Slice 90/155. Image width 240 mm.
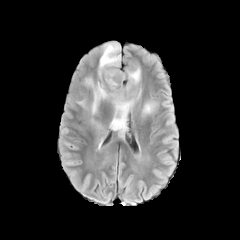
FLAIR magnetic resonance.
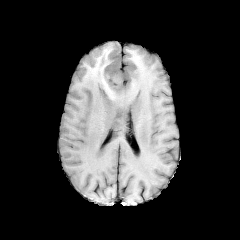
T1-weighted MR image.
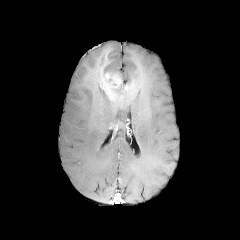
Post-contrast T1-weighted MR of the same slice.
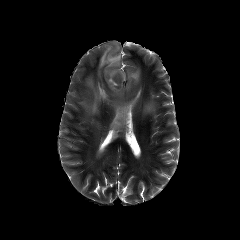
T2-weighted MR.
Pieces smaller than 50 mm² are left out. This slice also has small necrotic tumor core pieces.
The 3 largest peritumoral edema regions are bounded by {"x1": 139, "y1": 99, "x2": 160, "y2": 117}, {"x1": 74, "y1": 97, "x2": 87, "y2": 110}, {"x1": 84, "y1": 42, "x2": 143, "y2": 139}. The largest enhancing tumor region is at {"x1": 104, "y1": 72, "x2": 122, "y2": 89}.